Axial plane. Image covers 240 mm x 240 mm. Slice 92 of 155. Brain.
FLAIR MR image.
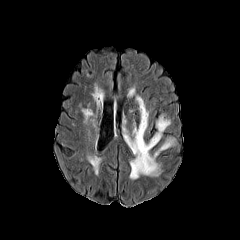
T1-weighted magnetic resonance.
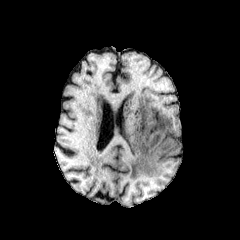
Post-contrast T1-weighted MR image.
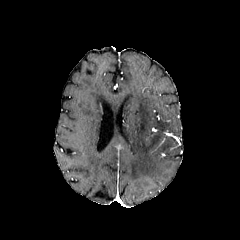
T2-weighted MR image.
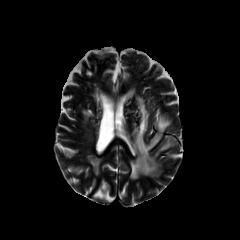
<segmentation>
  <peritumoral_edema>125:96:173:179</peritumoral_edema>
</segmentation>